FLAIR MR.
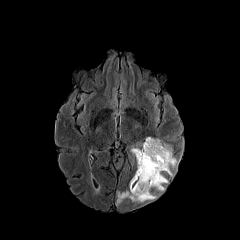
T1-weighted MR.
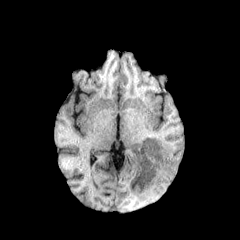
Post-contrast T1-weighted MR.
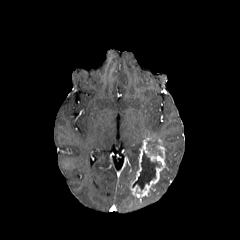
T2-weighted MR image.
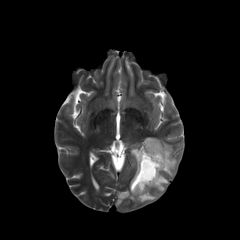
240x240.
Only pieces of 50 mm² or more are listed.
The largest necrotic tumor core region is bounded by [132,151,160,189]. The 3 largest peritumoral edema regions appear at [131,148,139,168], [116,189,157,204], [152,140,178,191]. The enhancing tumor is located at [130,137,166,197].